FLAIR MR image.
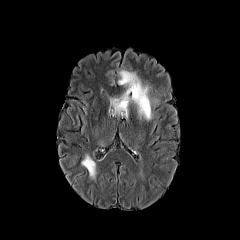
T1-weighted magnetic resonance.
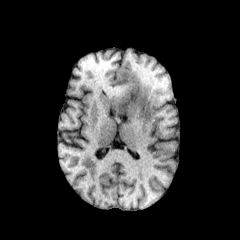
Post-contrast T1-weighted MR image.
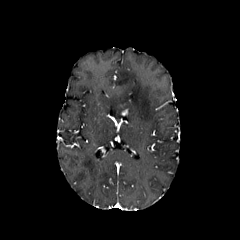
T2-weighted MR.
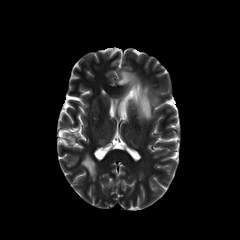
Image size 240x240, Head
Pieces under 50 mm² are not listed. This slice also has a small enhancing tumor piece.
2 peritumoral edema regions are bounded by x1=108 y1=68 x2=158 y2=121, x1=81 y1=154 x2=96 y2=181.